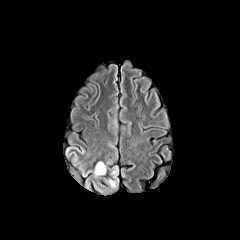
FLAIR MR.
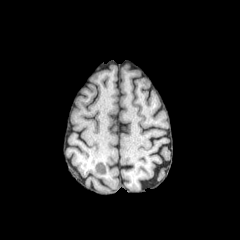
T1-weighted MR image of the same slice.
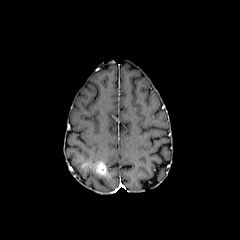
Same slice, post-contrast T1-weighted MRI.
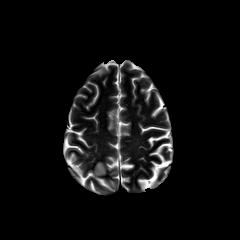
T2-weighted magnetic resonance.
Axial plane
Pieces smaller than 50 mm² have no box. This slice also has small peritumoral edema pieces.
The enhancing tumor is bounded by bbox=[95, 161, 106, 175].